FLAIR magnetic resonance.
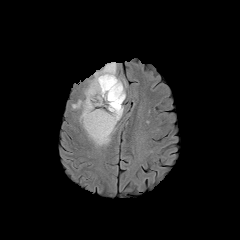
T1-weighted MRI.
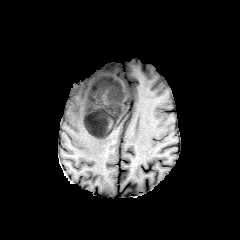
Post-contrast T1-weighted MR.
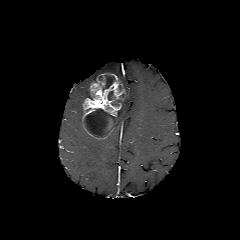
T2-weighted MRI.
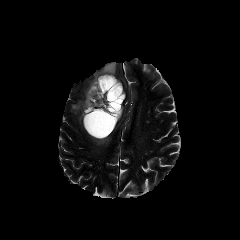
Brain; Axial slice
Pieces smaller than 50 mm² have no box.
peritumoral edema: left=85, top=102, right=124, bottom=146; left=84, top=62, right=117, bottom=99; left=72, top=99, right=84, bottom=130 | necrotic tumor core: left=103, top=75, right=114, bottom=90; left=108, top=91, right=115, bottom=100; left=84, top=109, right=115, bottom=137 | enhancing tumor: left=82, top=73, right=125, bottom=139